FLAIR MR image.
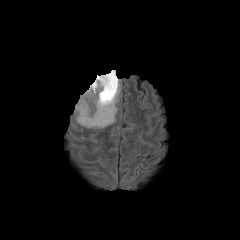
T1-weighted MRI.
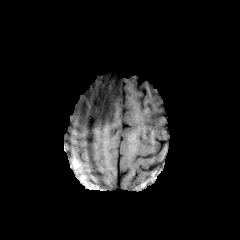
Post-contrast T1-weighted MR.
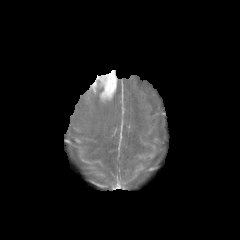
T2-weighted MR image.
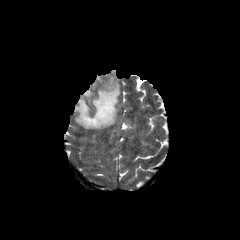
Image size 240x240 | Axial slice
The enhancing tumor lies within <bbox>89, 70, 117, 101</bbox>. The peritumoral edema lies within <bbox>74, 79, 119, 128</bbox>.